Slice 49/155 | Axial view | Head
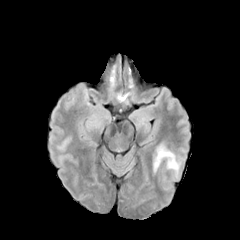
FLAIR MR.
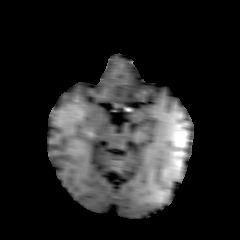
T1-weighted MR image.
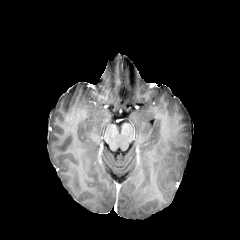
Post-contrast T1-weighted MR of the same slice.
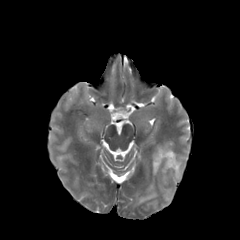
Same slice, T2-weighted magnetic resonance.
{"peritumoral_edema": ["bbox(153, 145, 179, 173)"]}